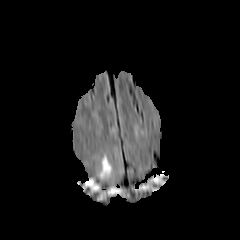
FLAIR MR.
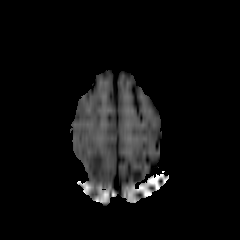
Same slice, T1-weighted MRI.
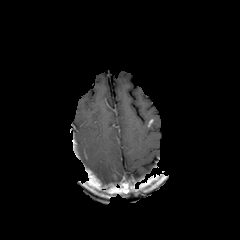
Same slice, post-contrast T1-weighted magnetic resonance.
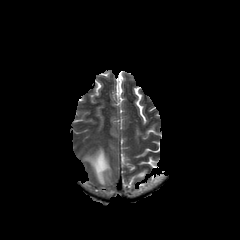
T2-weighted MR.
240x240; Brain
The peritumoral edema is located at box(98, 154, 112, 181).